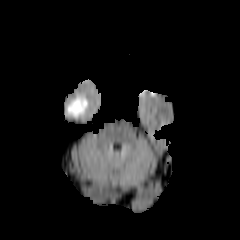
FLAIR magnetic resonance.
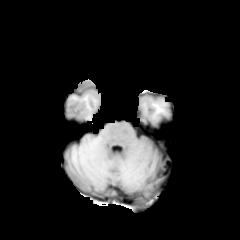
Same slice, T1-weighted MR.
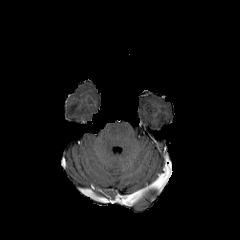
Post-contrast T1-weighted MR image of the same slice.
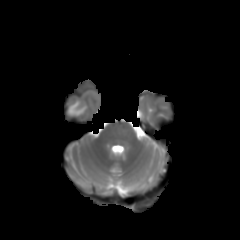
Same slice, T2-weighted MR image.
Axial plane
<segmentation>
  <peritumoral_edema>[68, 95, 87, 117]</peritumoral_edema>
</segmentation>